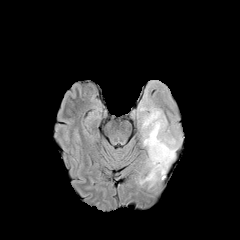
FLAIR MR image.
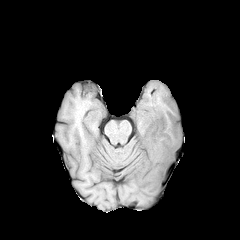
Same slice, T1-weighted MRI.
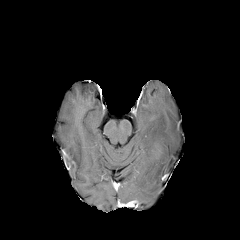
Same slice, post-contrast T1-weighted MR.
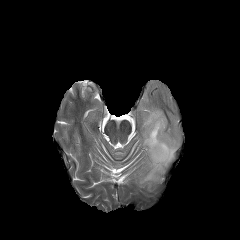
T2-weighted MR image.
Axial view
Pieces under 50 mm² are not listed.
Annotated regions:
• peritumoral edema: (139,108,180,187)